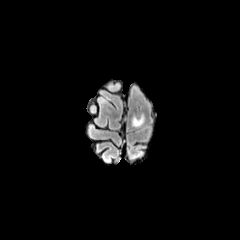
FLAIR MRI.
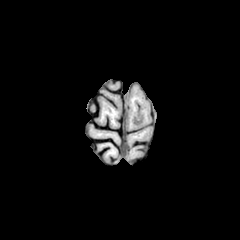
Same slice, T1-weighted MR image.
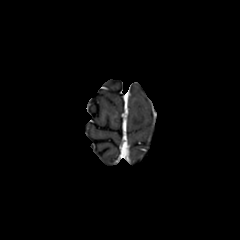
Same slice, post-contrast T1-weighted magnetic resonance.
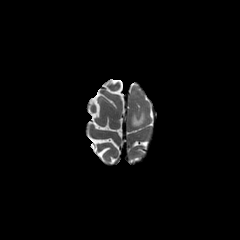
Same slice, T2-weighted MR image.
The peritumoral edema is located at bbox=[132, 114, 144, 126].